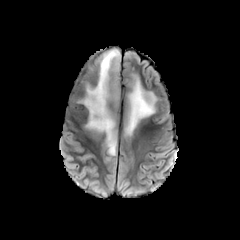
FLAIR magnetic resonance.
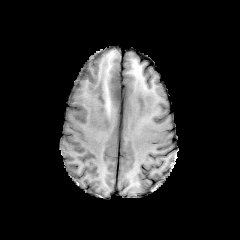
T1-weighted MR.
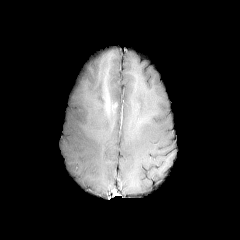
Post-contrast T1-weighted MR image.
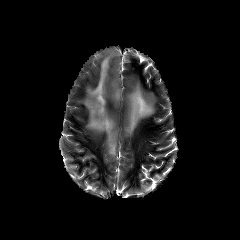
T2-weighted magnetic resonance.
240x240 px
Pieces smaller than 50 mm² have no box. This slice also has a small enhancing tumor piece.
{"peritumoral_edema": ["124 72 156 136", "78 48 120 159"]}